Image width 240 mm, 1.00 mm slice spacing. Brain.
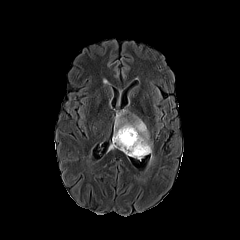
FLAIR MR.
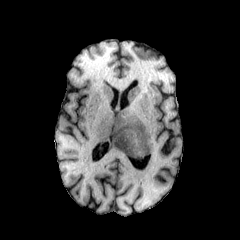
Same slice, T1-weighted magnetic resonance.
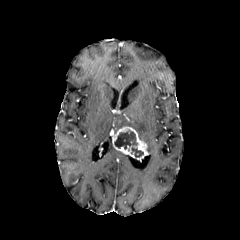
Post-contrast T1-weighted MR.
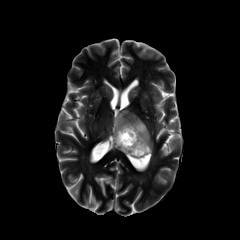
Same slice, T2-weighted MR image.
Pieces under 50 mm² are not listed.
The enhancing tumor appears at bbox(112, 126, 148, 158). The largest peritumoral edema region is bounded by bbox(114, 113, 152, 153). 2 necrotic tumor core regions are located at bbox(131, 147, 143, 157); bbox(114, 130, 137, 149).